Axial slice; Head
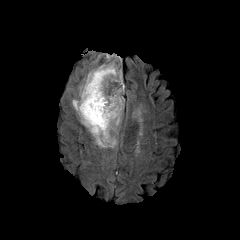
FLAIR MRI.
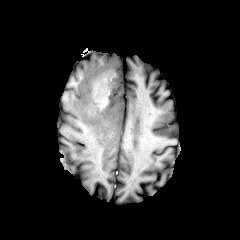
T1-weighted MR.
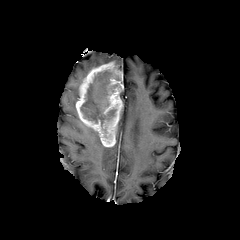
Post-contrast T1-weighted magnetic resonance of the same slice.
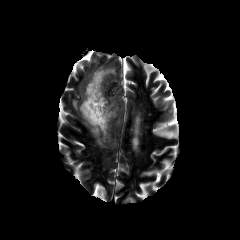
T2-weighted MRI.
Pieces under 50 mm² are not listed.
{
  "peritumoral_edema": [
    "bbox=[72, 98, 77, 112]",
    "bbox=[80, 120, 116, 147]"
  ],
  "necrotic_tumor_core": [
    "bbox=[80, 70, 115, 126]"
  ],
  "enhancing_tumor": [
    "bbox=[75, 61, 124, 146]"
  ]
}